Image size 240x240 | Slice 65 of 155 | Brain
FLAIR MR.
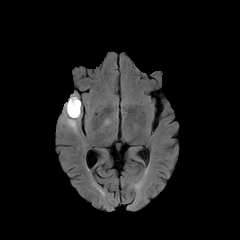
T1-weighted MR image.
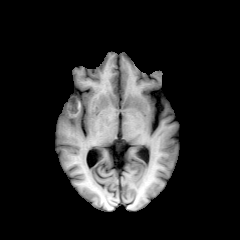
Post-contrast T1-weighted MR.
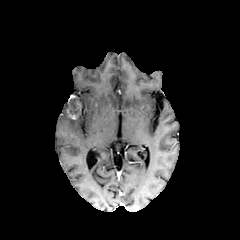
T2-weighted magnetic resonance.
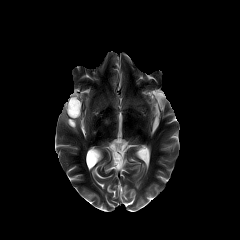
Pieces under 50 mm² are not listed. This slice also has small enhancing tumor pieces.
Segmented structures:
- necrotic tumor core: 68,98,80,117
- peritumoral edema: 61,94,81,131